FLAIR MRI.
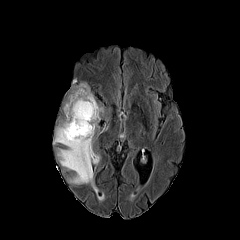
T1-weighted MR.
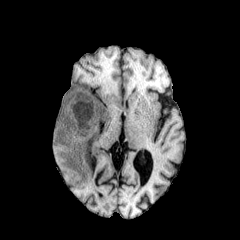
Post-contrast T1-weighted MRI.
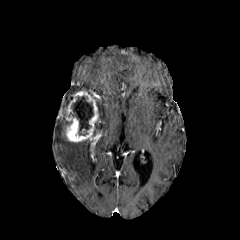
T2-weighted MR.
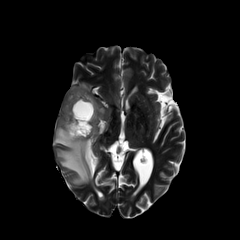
Head
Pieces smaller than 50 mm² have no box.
Annotated regions:
* peritumoral edema: 93 103 104 135, 71 83 91 94, 53 121 98 195
* enhancing tumor: 63 90 98 142
* necrotic tumor core: 70 95 93 135